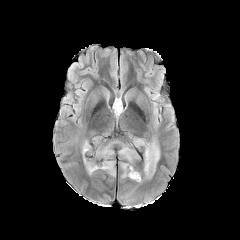
FLAIR magnetic resonance.
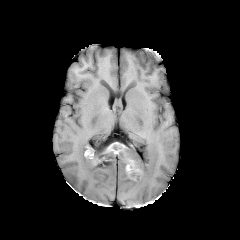
T1-weighted MR.
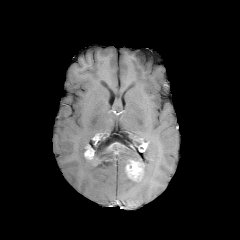
Post-contrast T1-weighted MRI.
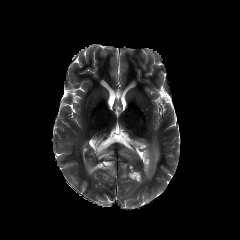
Same slice, T2-weighted magnetic resonance.
Brain, Image size 240x240
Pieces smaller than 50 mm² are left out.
{"enhancing_tumor": ["(left=126, top=160, right=144, bottom=181)", "(left=84, top=144, right=94, bottom=160)"], "peritumoral_edema": ["(left=119, top=145, right=142, bottom=162)", "(left=82, top=139, right=115, bottom=176)", "(left=143, top=140, right=159, bottom=178)", "(left=121, top=163, right=128, bottom=178)", "(left=133, top=138, right=142, bottom=147)"]}